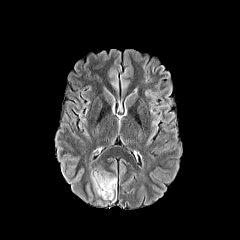
FLAIR MR.
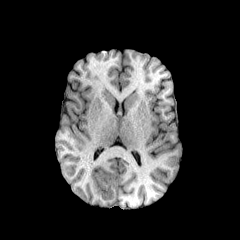
Same slice, T1-weighted magnetic resonance.
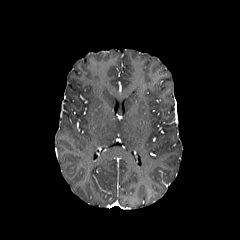
Post-contrast T1-weighted MR image.
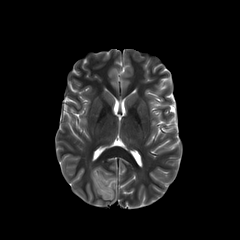
T2-weighted magnetic resonance.
Axial plane, Head
peritumoral edema — box=[91, 171, 116, 202]